FLAIR MRI.
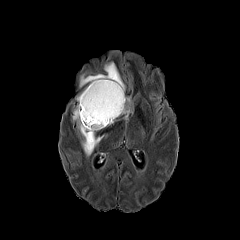
T1-weighted magnetic resonance.
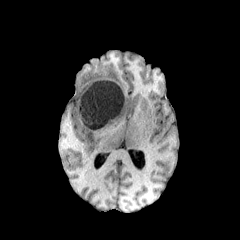
Post-contrast T1-weighted MR.
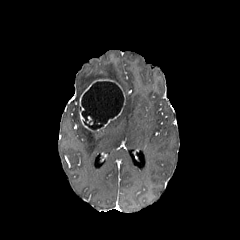
T2-weighted MR.
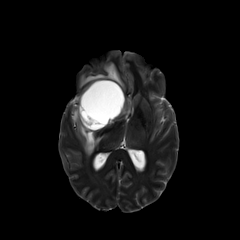
Axial slice
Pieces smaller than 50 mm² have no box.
The largest enhancing tumor region is at l=79, t=79, r=125, b=131. The largest necrotic tumor core region is located at l=81, t=81, r=124, b=129. The 3 largest peritumoral edema regions appear at l=72, t=104, r=104, b=155; l=79, t=62, r=125, b=91; l=122, t=96, r=133, b=120.